FLAIR MR image.
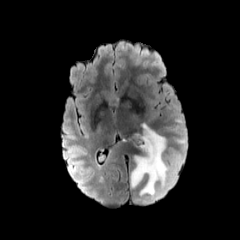
T1-weighted MR.
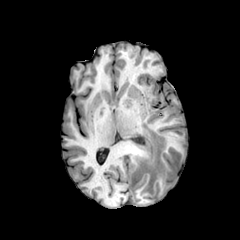
Post-contrast T1-weighted MR.
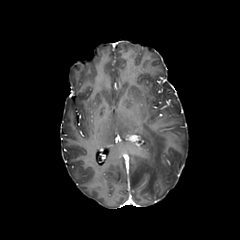
T2-weighted MRI.
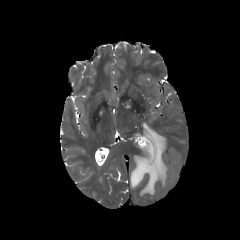
Axial view; Brain
peritumoral edema — 130,123,168,195